FLAIR MR.
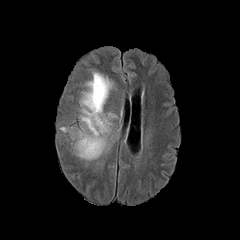
T1-weighted magnetic resonance.
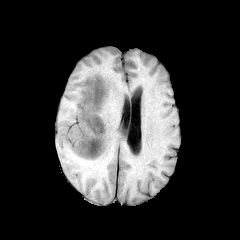
Post-contrast T1-weighted magnetic resonance.
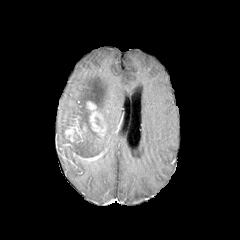
T2-weighted MRI.
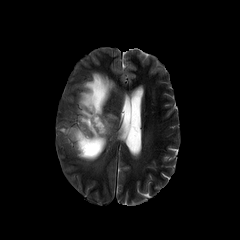
Axial plane | Image size 240x240
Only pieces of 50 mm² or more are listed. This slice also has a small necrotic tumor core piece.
enhancing tumor at 66, 101, 106, 160
peritumoral edema at 79, 72, 116, 153